Image width 240 mm | Brain | Axial plane | 240x240
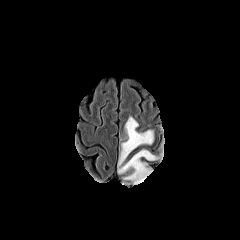
FLAIR MR image.
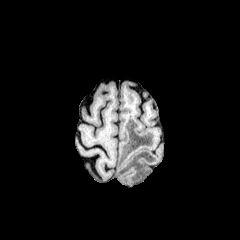
T1-weighted magnetic resonance.
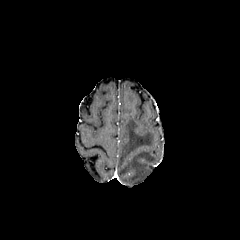
Post-contrast T1-weighted MRI.
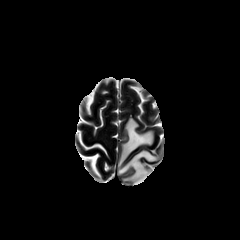
T2-weighted MR.
{
  "peritumoral_edema": [
    "bbox=[118, 116, 159, 184]"
  ]
}